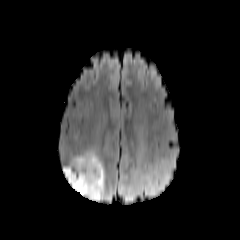
FLAIR MRI.
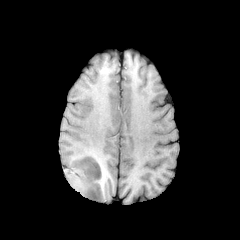
T1-weighted magnetic resonance.
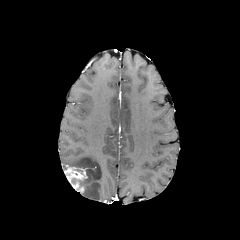
Post-contrast T1-weighted magnetic resonance.
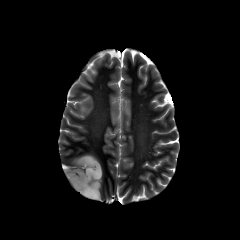
T2-weighted MRI of the same slice.
Axial plane
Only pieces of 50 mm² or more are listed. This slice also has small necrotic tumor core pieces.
enhancing tumor at {"x1": 64, "y1": 166, "x2": 86, "y2": 193}
peritumoral edema at {"x1": 71, "y1": 153, "x2": 103, "y2": 200}